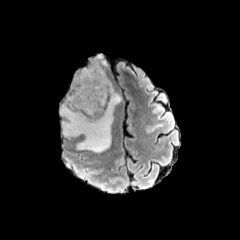
FLAIR MR image.
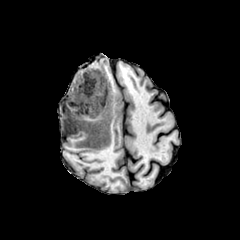
T1-weighted MRI.
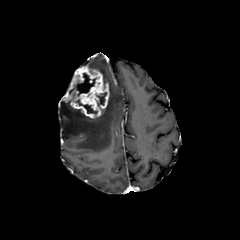
Same slice, post-contrast T1-weighted MRI.
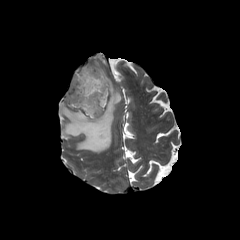
T2-weighted MR image.
Axial view. Image size 240x240.
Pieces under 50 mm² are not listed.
necrotic tumor core: bounding box 76:100:96:113, 69:73:95:95, 97:92:106:105
peritumoral edema: bounding box 60:83:121:152, 89:67:108:82
enhancing tumor: bounding box 64:66:109:118